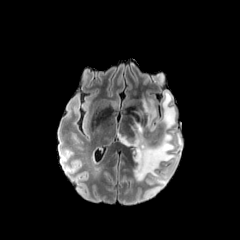
FLAIR MRI.
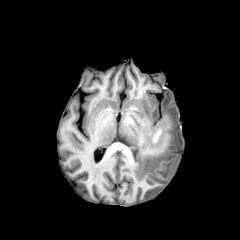
T1-weighted MR image of the same slice.
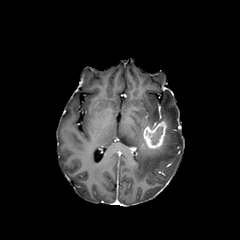
Same slice, post-contrast T1-weighted MRI.
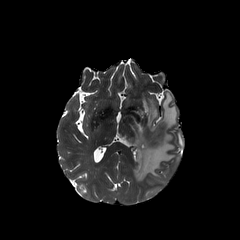
Same slice, T2-weighted MR.
Head
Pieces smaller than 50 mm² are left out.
<segmentation>
  <enhancing_tumor>box=[142, 120, 167, 149]</enhancing_tumor>
  <peritumoral_edema>box=[121, 91, 182, 184]</peritumoral_edema>
  <necrotic_tumor_core>box=[151, 128, 162, 144]</necrotic_tumor_core>
</segmentation>